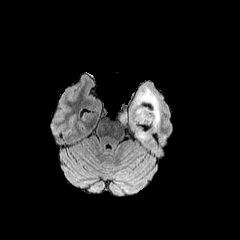
FLAIR MRI.
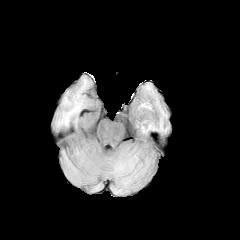
T1-weighted MR image.
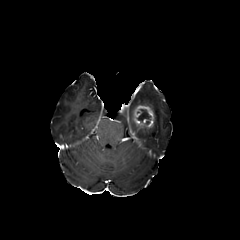
Same slice, post-contrast T1-weighted magnetic resonance.
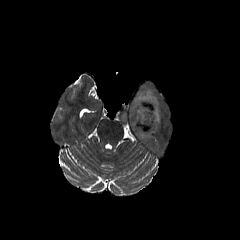
T2-weighted MR image.
Brain, Axial slice
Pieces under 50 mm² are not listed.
peritumoral edema: 130, 87, 160, 130; 136, 129, 150, 140 | necrotic tumor core: 137, 109, 150, 123 | enhancing tumor: 131, 105, 155, 128